FLAIR MRI.
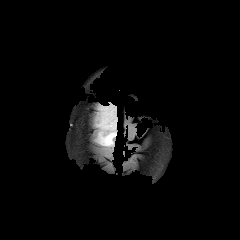
T1-weighted magnetic resonance.
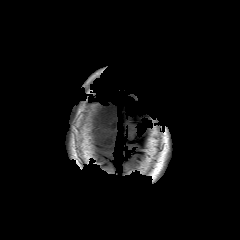
Post-contrast T1-weighted MRI.
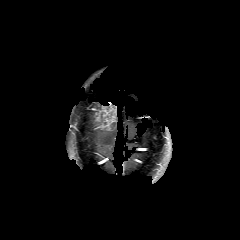
T2-weighted MR image.
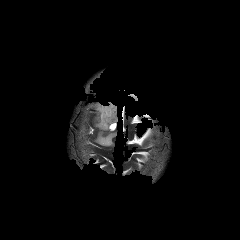
Axial plane. 240x240. Head.
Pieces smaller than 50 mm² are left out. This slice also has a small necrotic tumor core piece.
enhancing tumor: (96, 102, 116, 130) | peritumoral edema: (96, 128, 116, 146), (96, 112, 106, 126)